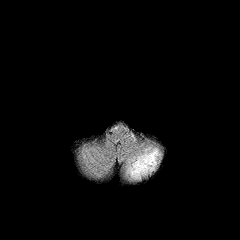
FLAIR MR image.
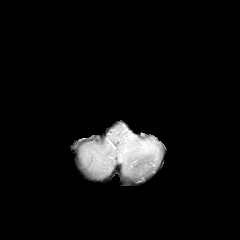
Same slice, T1-weighted MR.
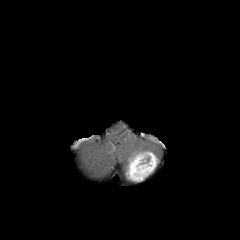
Same slice, post-contrast T1-weighted magnetic resonance.
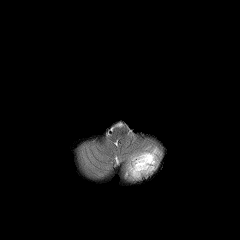
Same slice, T2-weighted MR image.
240x240.
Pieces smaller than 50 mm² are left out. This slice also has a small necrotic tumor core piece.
The enhancing tumor appears at l=126, t=151, r=158, b=181. The largest peritumoral edema region is located at l=121, t=143, r=161, b=170.